FLAIR magnetic resonance.
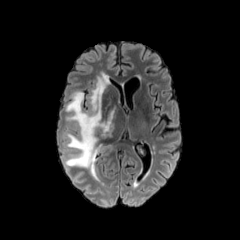
T1-weighted magnetic resonance.
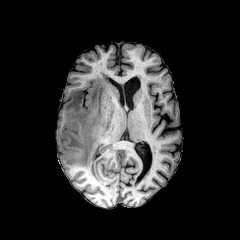
Post-contrast T1-weighted magnetic resonance.
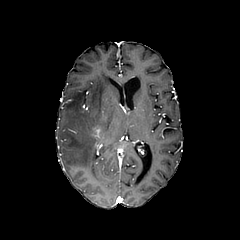
T2-weighted MRI.
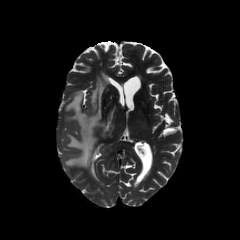
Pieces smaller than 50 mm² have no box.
{"peritumoral_edema": ["(64,74,117,180)"], "enhancing_tumor": ["(91,128,101,144)"]}